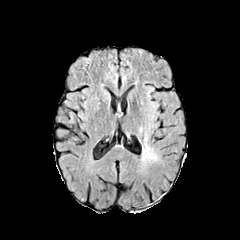
FLAIR MRI.
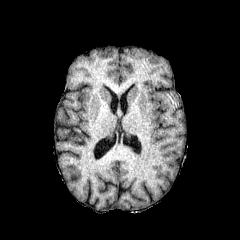
T1-weighted MRI.
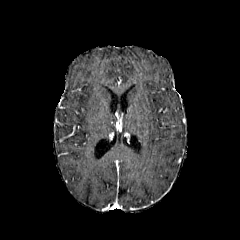
Post-contrast T1-weighted magnetic resonance of the same slice.
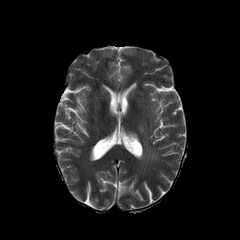
Same slice, T2-weighted MRI.
peritumoral_edema:
  - box(142, 145, 157, 161)